240x240, Slice 112/155
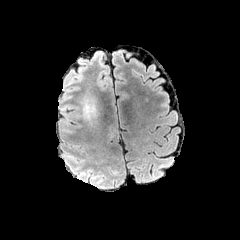
FLAIR magnetic resonance.
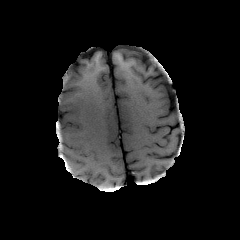
T1-weighted MRI of the same slice.
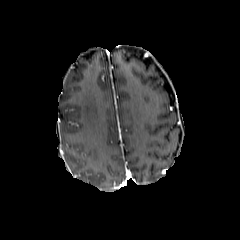
Post-contrast T1-weighted MR image.
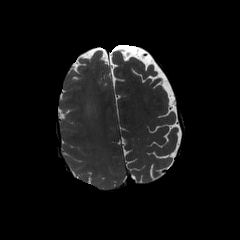
Same slice, T2-weighted magnetic resonance.
peritumoral_edema:
  - x1=82, y1=98, x2=95, y2=118